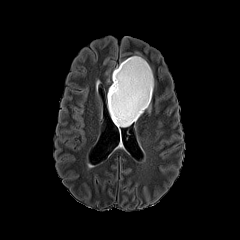
FLAIR MRI.
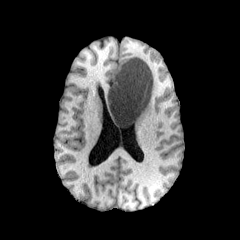
T1-weighted MRI of the same slice.
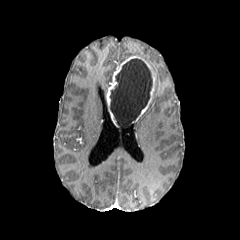
Post-contrast T1-weighted MR of the same slice.
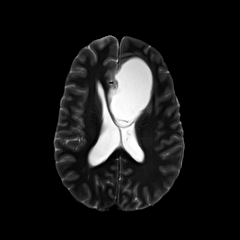
T2-weighted MR image.
Head, 240x240, Axial plane
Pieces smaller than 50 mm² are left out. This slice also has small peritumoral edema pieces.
necrotic tumor core — {"x1": 110, "y1": 58, "x2": 152, "y2": 126}
enhancing tumor — {"x1": 107, "y1": 56, "x2": 154, "y2": 126}